Slice 129 of 155 | 240x240 px
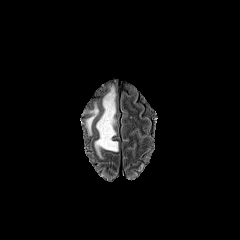
FLAIR magnetic resonance.
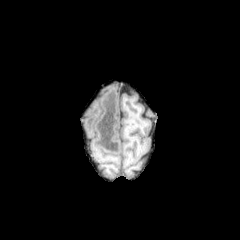
Same slice, T1-weighted MR image.
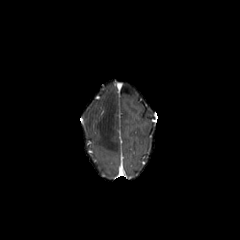
Post-contrast T1-weighted magnetic resonance.
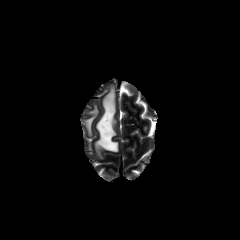
Same slice, T2-weighted MR image.
- peritumoral edema: rect(86, 105, 98, 134); rect(95, 86, 118, 157)